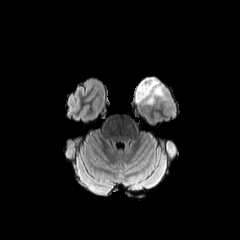
FLAIR MR.
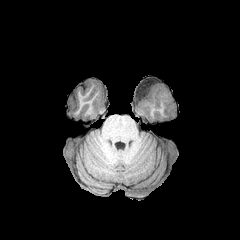
T1-weighted MR image of the same slice.
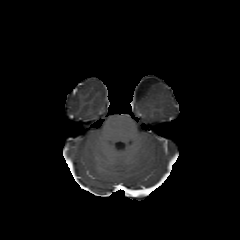
Same slice, post-contrast T1-weighted magnetic resonance.
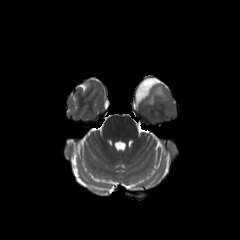
T2-weighted magnetic resonance.
Image size 240x240
- peritumoral edema: x1=135, y1=77, x2=163, y2=104